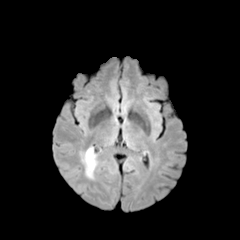
FLAIR MR.
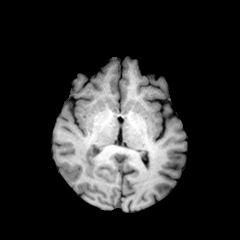
Same slice, T1-weighted MR image.
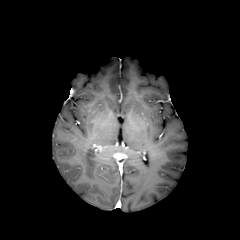
Post-contrast T1-weighted MRI.
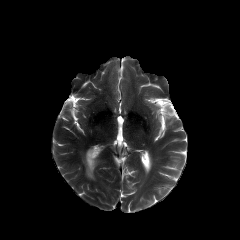
T2-weighted magnetic resonance.
240x240
Segmented structures:
• peritumoral edema: region(82, 148, 97, 178)